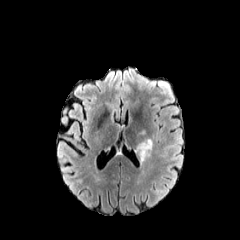
FLAIR magnetic resonance.
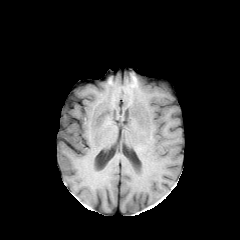
T1-weighted MR image of the same slice.
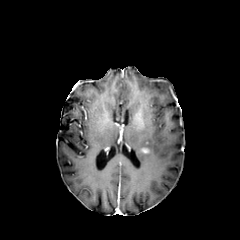
Post-contrast T1-weighted magnetic resonance of the same slice.
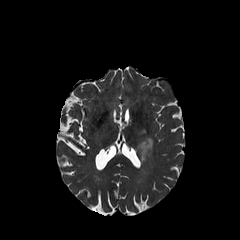
Same slice, T2-weighted MRI.
Axial plane
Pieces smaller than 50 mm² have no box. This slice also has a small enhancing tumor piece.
The peritumoral edema lies within 135, 139, 152, 161.